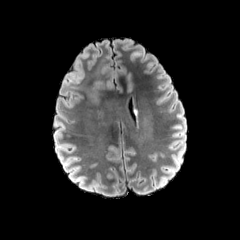
FLAIR MR.
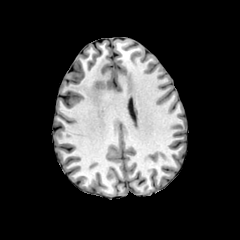
T1-weighted MR image.
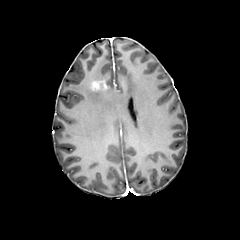
Post-contrast T1-weighted MR of the same slice.
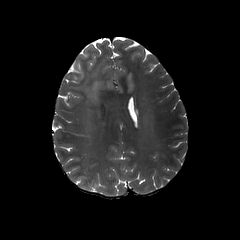
T2-weighted MR image of the same slice.
Brain
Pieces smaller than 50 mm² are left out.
enhancing tumor: bounding box l=91, t=79, r=123, b=97
peritumoral edema: bounding box l=70, t=57, r=105, b=123; l=124, t=72, r=134, b=93